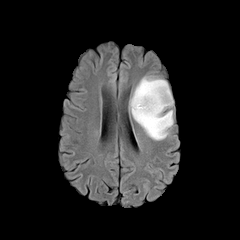
FLAIR MR image.
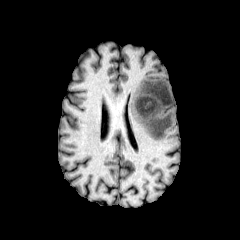
T1-weighted MR of the same slice.
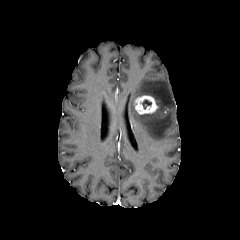
Post-contrast T1-weighted MR.
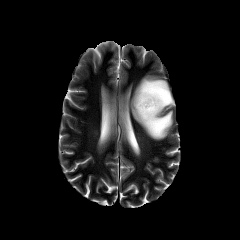
T2-weighted MRI.
240x240. Brain.
enhancing tumor at bbox=[134, 95, 158, 114]
necrotic tumor core at bbox=[142, 100, 151, 108]
peritumoral edema at bbox=[130, 76, 173, 140]